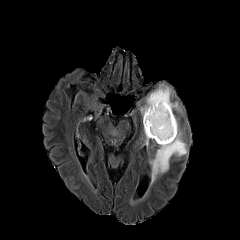
FLAIR MR image.
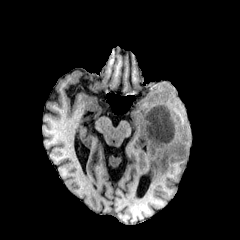
Same slice, T1-weighted MR image.
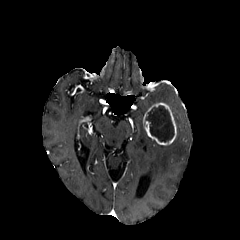
Post-contrast T1-weighted MR image.
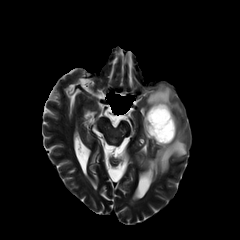
Same slice, T2-weighted magnetic resonance.
Image size 240x240; Axial plane
<segmentation>
  <enhancing_tumor>box(143, 102, 176, 145)</enhancing_tumor>
  <necrotic_tumor_core>box(145, 106, 173, 142)</necrotic_tumor_core>
  <peritumoral_edema>box(150, 116, 187, 184); box(140, 84, 181, 117); box(143, 125, 150, 145)</peritumoral_edema>
</segmentation>